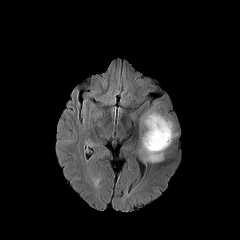
FLAIR MRI.
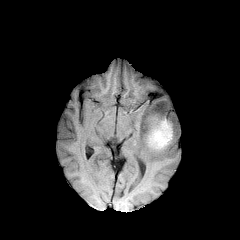
Same slice, T1-weighted MR image.
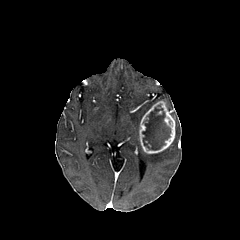
Post-contrast T1-weighted magnetic resonance.
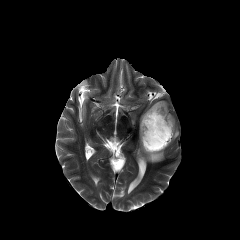
T2-weighted MR image.
Axial view
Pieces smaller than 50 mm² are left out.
The necrotic tumor core is at {"x1": 142, "y1": 108, "x2": 170, "y2": 150}. The largest peritumoral edema region lies within {"x1": 140, "y1": 145, "x2": 164, "y2": 162}. The largest enhancing tumor region is located at {"x1": 139, "y1": 101, "x2": 175, "y2": 153}.